Brain
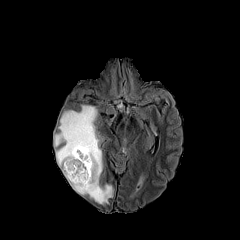
FLAIR MR image.
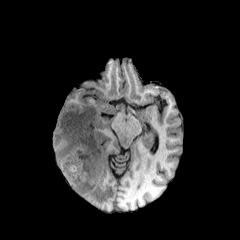
Same slice, T1-weighted MRI.
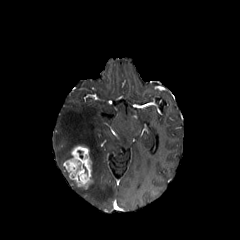
Same slice, post-contrast T1-weighted MR.
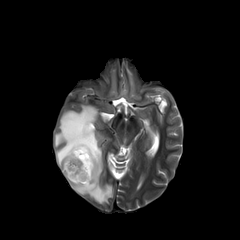
T2-weighted MRI.
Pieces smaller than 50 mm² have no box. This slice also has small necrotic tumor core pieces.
{
  "enhancing_tumor": [
    "63 145 93 189"
  ],
  "peritumoral_edema": [
    "54 105 113 204"
  ]
}